Slice 55/155
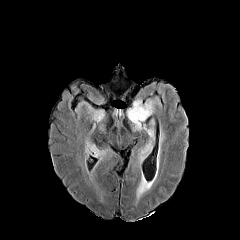
FLAIR MRI.
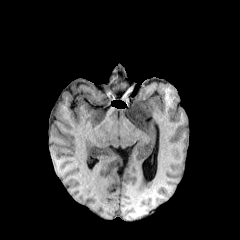
T1-weighted MR.
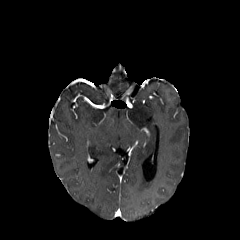
Post-contrast T1-weighted MRI of the same slice.
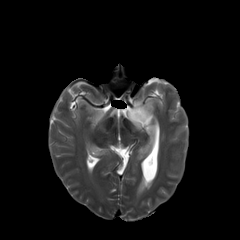
T2-weighted MRI of the same slice.
Segmented structures:
• peritumoral edema: 128, 99, 154, 128; 161, 131, 166, 143; 85, 110, 110, 157; 139, 128, 153, 160